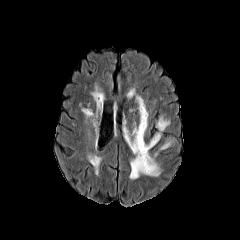
FLAIR MR image.
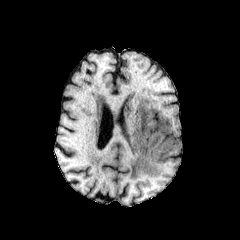
T1-weighted magnetic resonance.
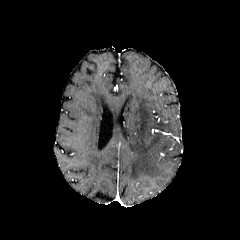
Post-contrast T1-weighted magnetic resonance.
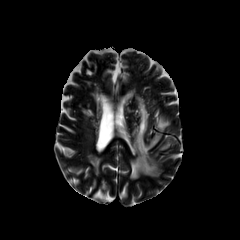
Same slice, T2-weighted MRI.
240x240 px
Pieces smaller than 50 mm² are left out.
<segmentation>
  <peritumoral_edema>125,96,160,179; 157,117,169,130; 160,141,170,149</peritumoral_edema>
</segmentation>